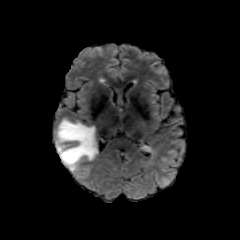
FLAIR MR.
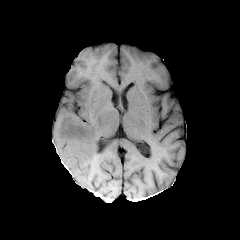
T1-weighted magnetic resonance of the same slice.
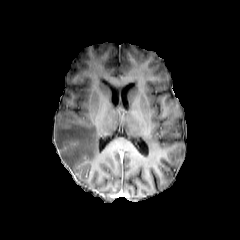
Post-contrast T1-weighted magnetic resonance.
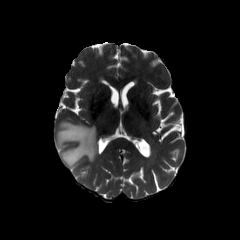
T2-weighted MR image.
Axial slice
peritumoral edema = [55,120,97,175]